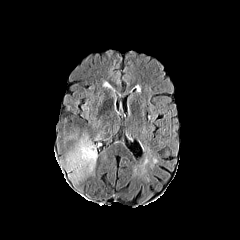
FLAIR MRI.
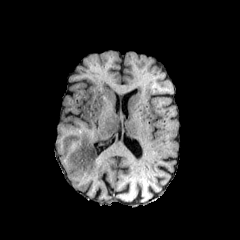
T1-weighted MR image.
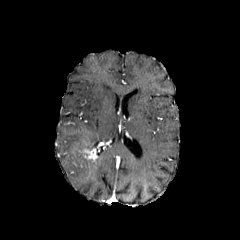
Post-contrast T1-weighted MRI.
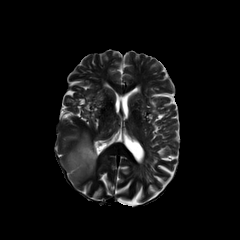
T2-weighted MR of the same slice.
Head
The peritumoral edema is at x1=66 y1=135 x2=97 y2=181. The enhancing tumor is located at x1=84 y1=149 x2=95 y2=161.